240x240.
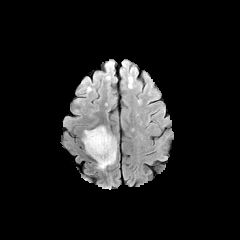
FLAIR MRI.
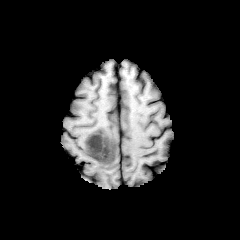
T1-weighted MRI.
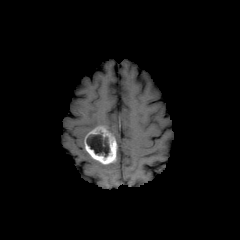
Post-contrast T1-weighted magnetic resonance.
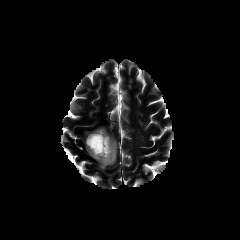
Same slice, T2-weighted MRI.
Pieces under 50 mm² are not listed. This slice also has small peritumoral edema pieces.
{
  "enhancing_tumor": [
    "l=84, t=126, r=117, b=164"
  ],
  "necrotic_tumor_core": [
    "l=86, t=133, r=109, b=156"
  ]
}